FLAIR MRI.
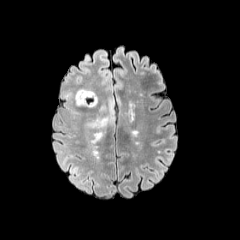
T1-weighted magnetic resonance.
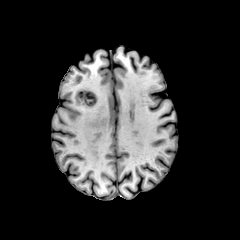
Post-contrast T1-weighted MRI.
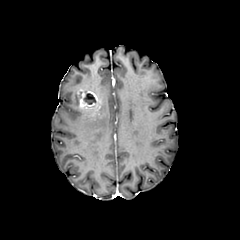
T2-weighted magnetic resonance.
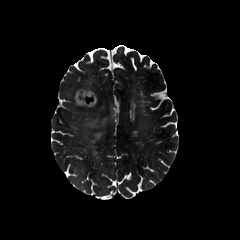
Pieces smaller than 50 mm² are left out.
{
  "peritumoral_edema": [
    "rect(85, 105, 110, 128)",
    "rect(69, 87, 93, 106)"
  ],
  "enhancing_tumor": [
    "rect(77, 89, 98, 108)"
  ],
  "necrotic_tumor_core": [
    "rect(83, 93, 95, 104)"
  ]
}